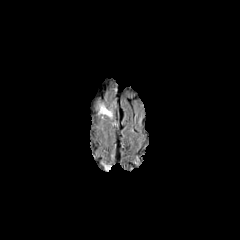
FLAIR MR image.
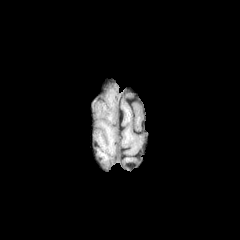
T1-weighted MR image.
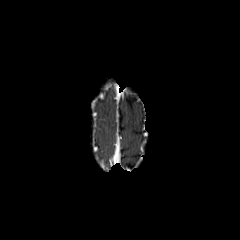
Post-contrast T1-weighted MRI of the same slice.
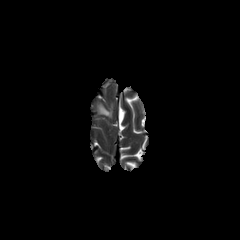
T2-weighted MR image.
Brain; 240x240
peritumoral edema: x1=100 y1=106 x2=111 y2=116